Axial view
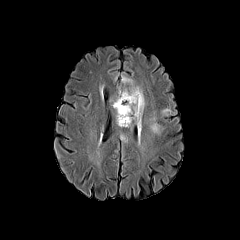
FLAIR MRI.
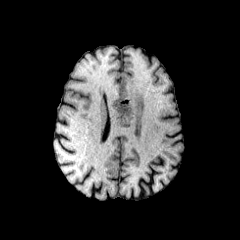
Same slice, T1-weighted magnetic resonance.
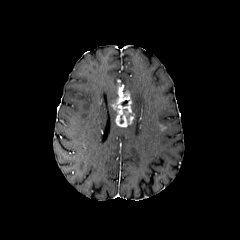
Post-contrast T1-weighted MRI.
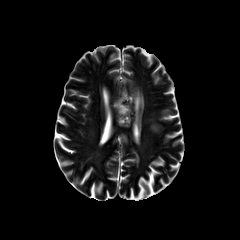
Same slice, T2-weighted MR image.
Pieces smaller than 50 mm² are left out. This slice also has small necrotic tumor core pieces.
enhancing tumor: {"x1": 111, "y1": 88, "x2": 134, "y2": 127} | peritumoral edema: {"x1": 163, "y1": 109, "x2": 170, "y2": 116}, {"x1": 151, "y1": 122, "x2": 161, "y2": 135}, {"x1": 122, "y1": 76, "x2": 144, "y2": 126}